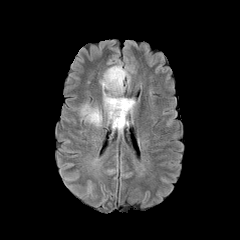
FLAIR magnetic resonance.
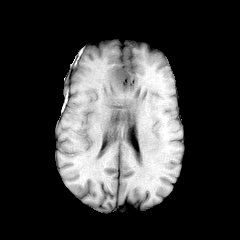
Same slice, T1-weighted MR image.
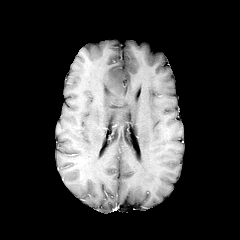
Post-contrast T1-weighted magnetic resonance.
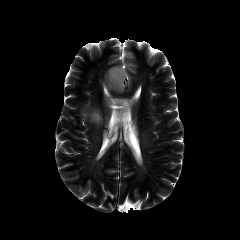
T2-weighted MRI.
Axial slice. 240x240.
Segmented structures:
* peritumoral edema: 101, 65, 129, 94; 81, 104, 102, 126; 103, 91, 135, 132